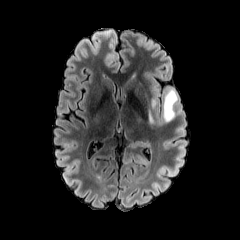
FLAIR magnetic resonance.
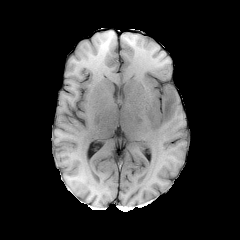
Same slice, T1-weighted magnetic resonance.
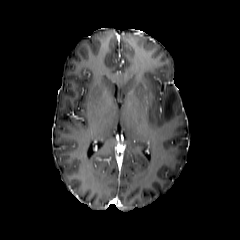
Post-contrast T1-weighted MR image of the same slice.
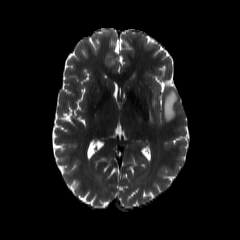
T2-weighted MRI.
Axial plane.
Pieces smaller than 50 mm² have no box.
peritumoral edema: [163,87,178,122], [151,98,157,108]